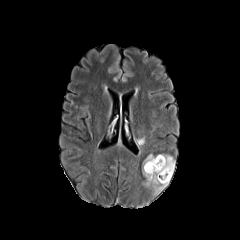
FLAIR MR.
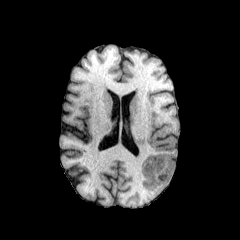
T1-weighted MR image.
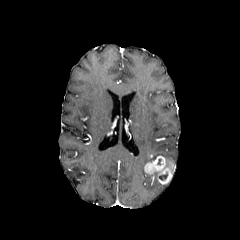
Post-contrast T1-weighted MR image.
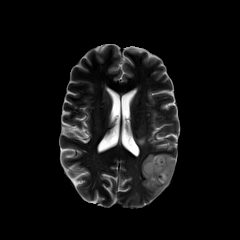
Same slice, T2-weighted MR image.
Head | Axial plane
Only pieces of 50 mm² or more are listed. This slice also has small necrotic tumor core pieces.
The largest enhancing tumor region appears at 144 156 175 184. 3 peritumoral edema regions are bounded by 157 154 175 163, 137 138 144 146, 142 155 168 195.